240x240 px; Axial plane; Image width 240 mm, 1.00 mm slice spacing; Head
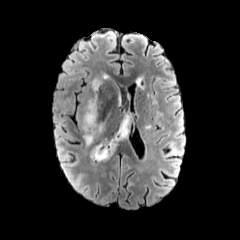
FLAIR magnetic resonance.
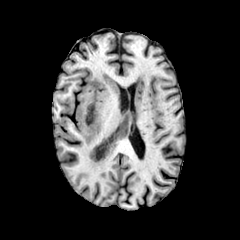
T1-weighted magnetic resonance of the same slice.
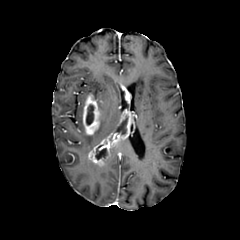
Post-contrast T1-weighted MR.
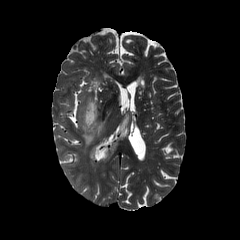
T2-weighted MR.
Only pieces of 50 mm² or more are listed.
peritumoral edema: bbox(136, 76, 144, 88); bbox(91, 78, 101, 98); bbox(83, 123, 103, 145)
necrotic tumor core: bbox(86, 105, 93, 124); bbox(95, 145, 107, 159); bbox(116, 116, 128, 134)
enhancing tumor: bbox(83, 94, 101, 135); bbox(88, 112, 131, 165)